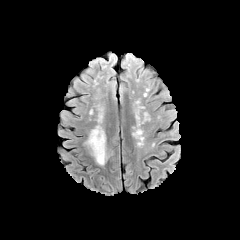
FLAIR MR.
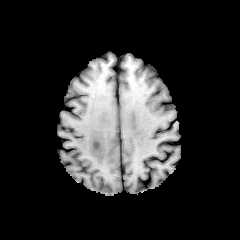
Same slice, T1-weighted MR.
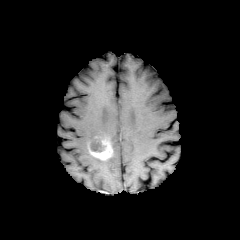
Post-contrast T1-weighted MR image of the same slice.
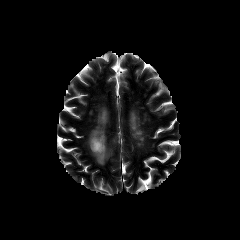
T2-weighted MR.
Head, Axial view
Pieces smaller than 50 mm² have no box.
The largest peritumoral edema region is at x1=87 y1=126 x2=105 y2=144. The enhancing tumor is located at x1=88 y1=136 x2=112 y2=160. The necrotic tumor core is at x1=90 y1=140 x2=103 y2=151.